FLAIR MRI.
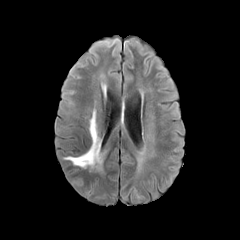
T1-weighted MR image.
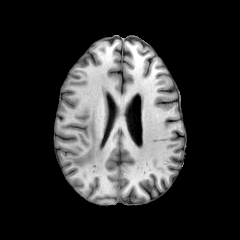
Post-contrast T1-weighted MRI.
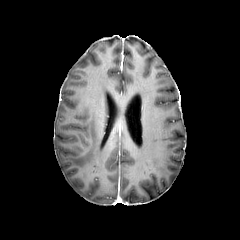
T2-weighted magnetic resonance.
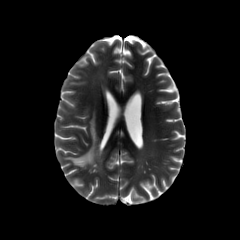
Image size 240x240 | Axial slice | Brain
* peritumoral edema: rect(67, 111, 102, 170)